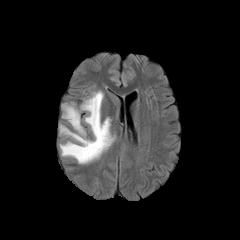
FLAIR MRI.
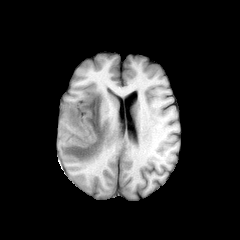
T1-weighted MRI.
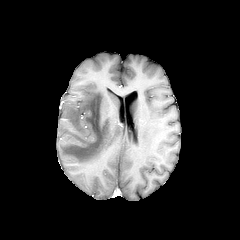
Post-contrast T1-weighted magnetic resonance.
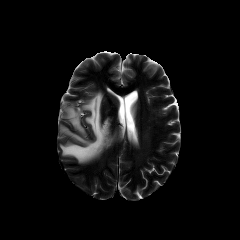
Same slice, T2-weighted MRI.
240x240
The peritumoral edema appears at (59,90,115,164).